Head | Slice 86 of 155 | Image covers 240 mm x 240 mm
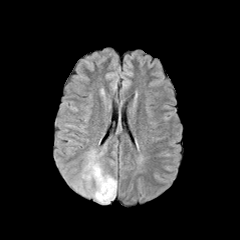
FLAIR MR.
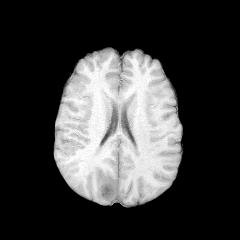
T1-weighted MR image of the same slice.
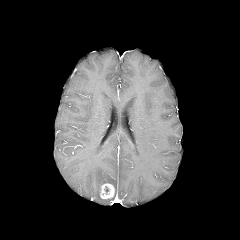
Post-contrast T1-weighted MR image.
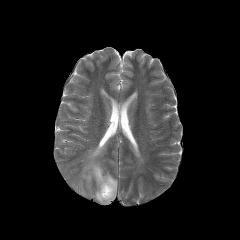
T2-weighted MR of the same slice.
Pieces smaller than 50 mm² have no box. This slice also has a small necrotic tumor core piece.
The peritumoral edema is at (left=71, top=149, right=117, bottom=204). The enhancing tumor lies within (left=100, top=183, right=114, bottom=199).